FLAIR MR.
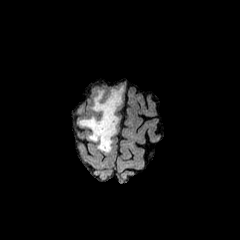
T1-weighted MR image.
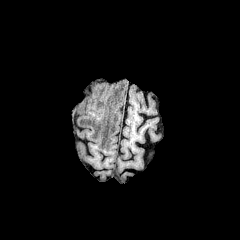
Post-contrast T1-weighted MR image.
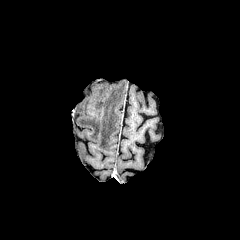
T2-weighted MRI.
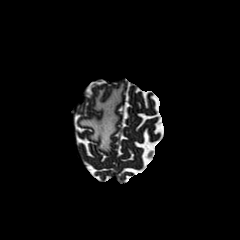
Image size 240x240 | Head | Axial view
peritumoral edema = (x1=79, y1=86, x2=123, y2=152)